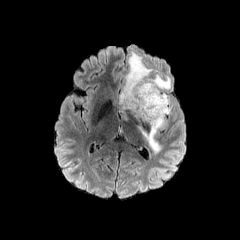
FLAIR magnetic resonance.
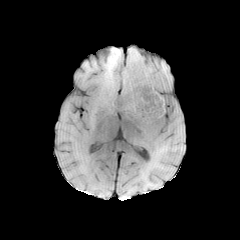
T1-weighted MRI.
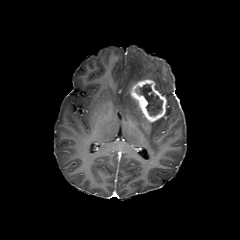
Same slice, post-contrast T1-weighted MR.
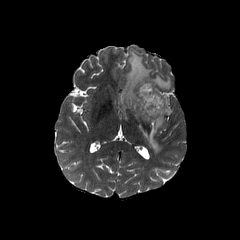
T2-weighted MRI.
Axial slice
peritumoral edema: region(119, 51, 170, 122); region(139, 116, 164, 153)
necrotic tumor core: region(139, 84, 162, 115)
enhancing tumor: region(130, 79, 166, 122)